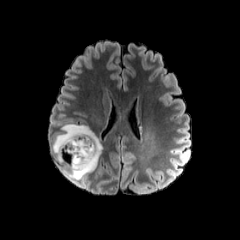
FLAIR magnetic resonance.
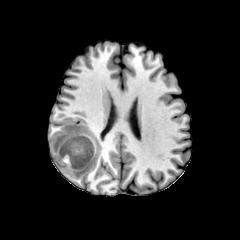
T1-weighted MR image of the same slice.
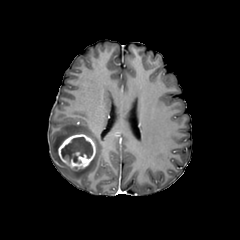
Same slice, post-contrast T1-weighted MR.
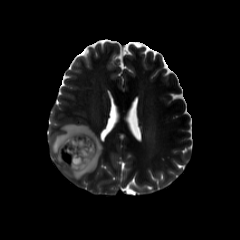
T2-weighted magnetic resonance.
240x240 px, Brain
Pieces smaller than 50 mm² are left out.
The necrotic tumor core appears at x1=61, y1=137, x2=92, y2=162. The largest peritumoral edema region appears at x1=51, y1=123, x2=102, y2=180. The enhancing tumor appears at x1=58, y1=134, x2=95, y2=169.